Slice 66/155 | Image width 240 mm | Head | Axial slice
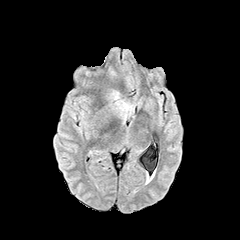
FLAIR MRI.
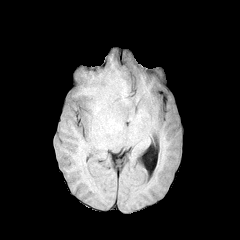
T1-weighted MRI.
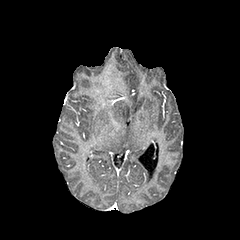
Post-contrast T1-weighted MR.
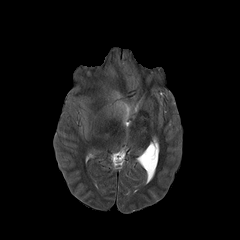
T2-weighted magnetic resonance of the same slice.
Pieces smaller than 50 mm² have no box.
The largest peritumoral edema region is bounded by <bbox>116, 101, 131, 119</bbox>.